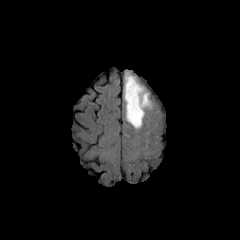
FLAIR MRI.
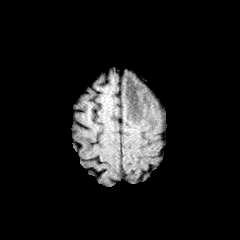
Same slice, T1-weighted MR image.
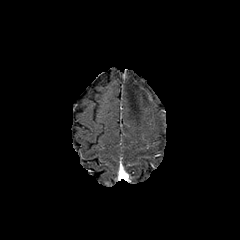
Same slice, post-contrast T1-weighted magnetic resonance.
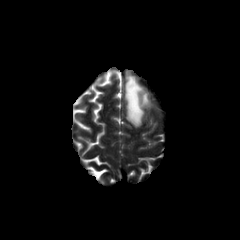
Same slice, T2-weighted MRI.
Head | 240x240
The peritumoral edema lies within [x1=124, y1=72, x2=150, y2=128].